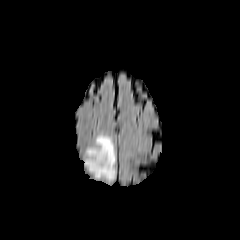
FLAIR magnetic resonance.
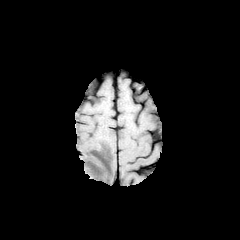
T1-weighted MR image.
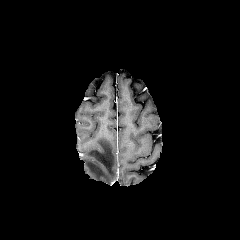
Post-contrast T1-weighted MRI of the same slice.
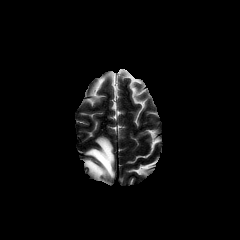
T2-weighted magnetic resonance.
Axial plane
peritumoral edema: region(84, 135, 115, 182)